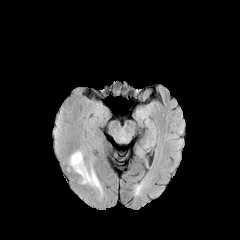
FLAIR magnetic resonance.
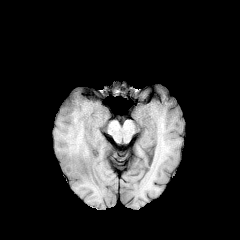
T1-weighted magnetic resonance.
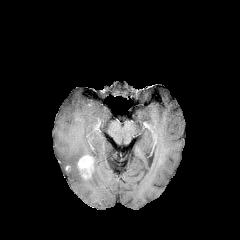
Post-contrast T1-weighted magnetic resonance.
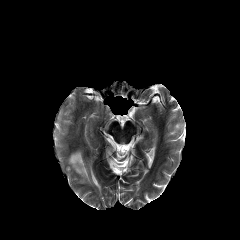
T2-weighted MRI.
Axial view.
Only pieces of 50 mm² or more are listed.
<segmentation>
  <enhancing_tumor>77:156:92:178</enhancing_tumor>
  <peritumoral_edema>81:168:101:191, 68:150:83:176</peritumoral_edema>
</segmentation>